FLAIR MR.
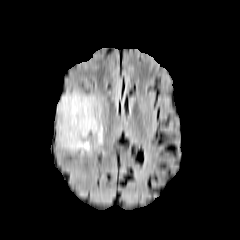
T1-weighted MRI.
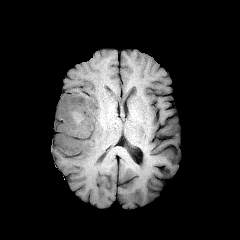
Post-contrast T1-weighted MRI.
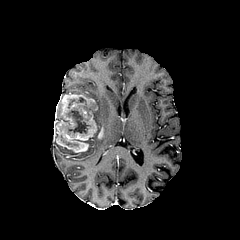
T2-weighted MR.
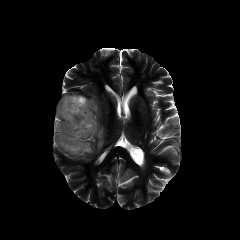
Axial view
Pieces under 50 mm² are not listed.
necrotic tumor core at l=68, t=110, r=89, b=133
peritumoral edema at l=93, t=102, r=103, b=146
enhancing tumor at l=55, t=93, r=97, b=152